FLAIR MR.
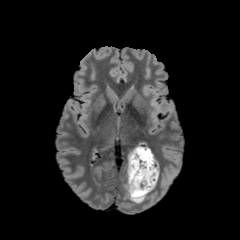
T1-weighted MRI.
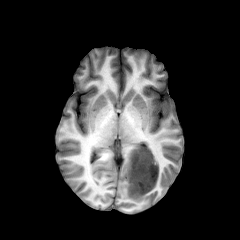
Post-contrast T1-weighted MRI.
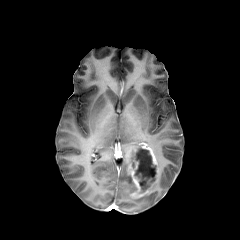
T2-weighted magnetic resonance.
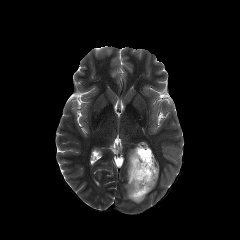
Head, Axial view
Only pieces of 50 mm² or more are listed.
necrotic tumor core = (131,145,156,191)
enhancing tumor = (128,145,159,198)
peritumoral edema = (125,155,146,203)